FLAIR MR image.
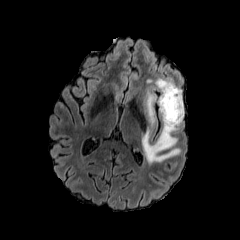
T1-weighted MR.
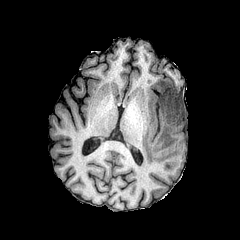
Post-contrast T1-weighted magnetic resonance.
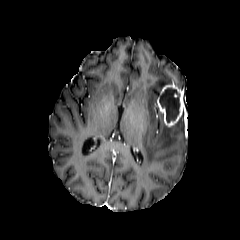
T2-weighted MRI.
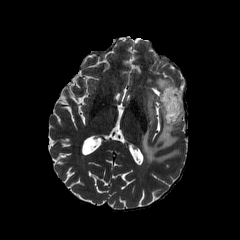
Head. 240x240 px. Axial view.
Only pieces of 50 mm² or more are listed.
peritumoral edema: <bbox>144, 92, 157, 125</bbox>, <bbox>156, 78, 172, 90</bbox>, <bbox>142, 112, 183, 163</bbox> | enhancing tumor: <bbox>157, 82, 184, 127</bbox> | necrotic tumor core: <bbox>159, 88, 179, 122</bbox>